Image width 240 mm | Slice index 74
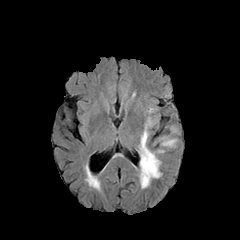
FLAIR magnetic resonance.
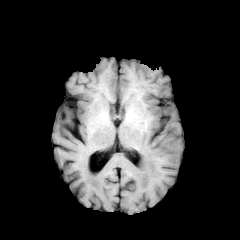
Same slice, T1-weighted magnetic resonance.
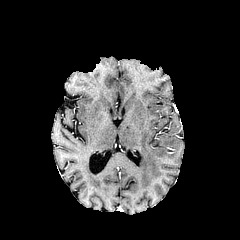
Post-contrast T1-weighted magnetic resonance of the same slice.
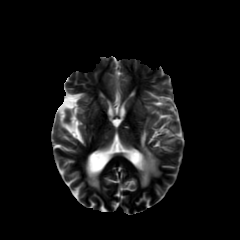
T2-weighted magnetic resonance of the same slice.
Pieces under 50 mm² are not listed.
peritumoral edema at bbox=[162, 137, 176, 146]; bbox=[139, 125, 161, 187]